Slice 83/155
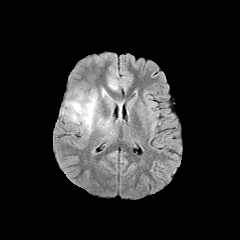
FLAIR MR image.
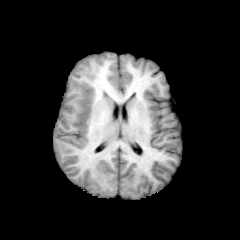
T1-weighted magnetic resonance.
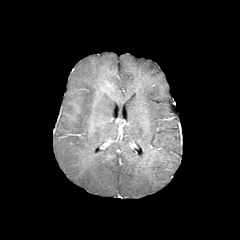
Post-contrast T1-weighted magnetic resonance of the same slice.
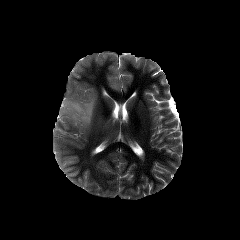
T2-weighted MR of the same slice.
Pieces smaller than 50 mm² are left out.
peritumoral_edema:
  - {"x1": 62, "y1": 93, "x2": 97, "y2": 131}
  - {"x1": 110, "y1": 80, "x2": 116, "y2": 89}